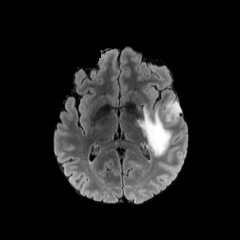
FLAIR MR.
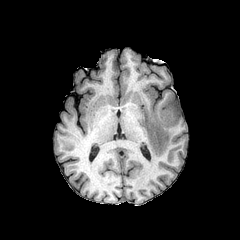
T1-weighted MR image.
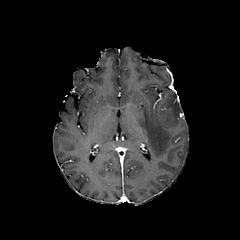
Post-contrast T1-weighted MR image.
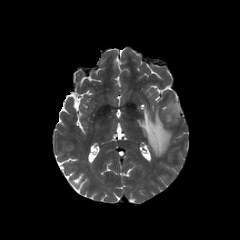
Same slice, T2-weighted magnetic resonance.
Axial view. Brain.
{
  "peritumoral_edema": [
    "[137, 97, 180, 156]"
  ]
}